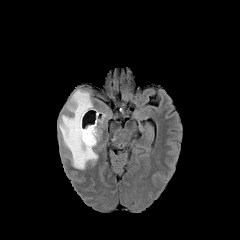
FLAIR MRI.
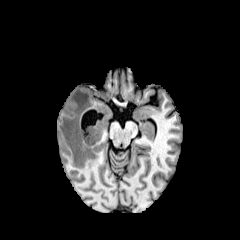
Same slice, T1-weighted MRI.
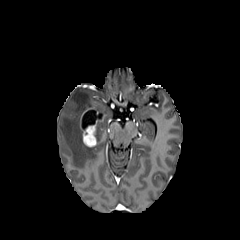
Post-contrast T1-weighted MR image.
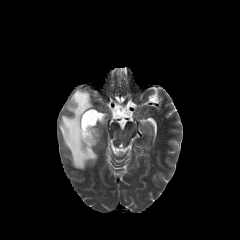
Same slice, T2-weighted MR image.
Axial slice.
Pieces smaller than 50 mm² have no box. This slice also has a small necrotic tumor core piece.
peritumoral_edema:
  - bbox(59, 89, 97, 169)
enhancing_tumor:
  - bbox(80, 108, 96, 146)